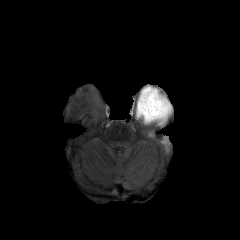
FLAIR magnetic resonance.
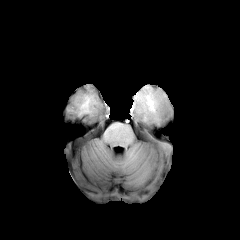
T1-weighted magnetic resonance.
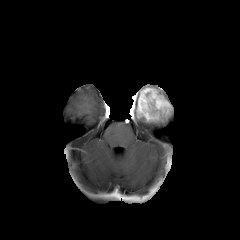
Post-contrast T1-weighted MR image of the same slice.
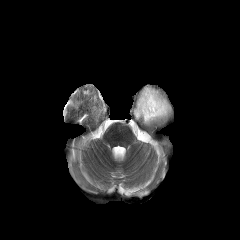
T2-weighted MR.
Head; Axial slice; 240x240
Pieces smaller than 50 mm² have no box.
Annotated regions:
* enhancing tumor: box=[135, 87, 172, 122]
* peritumoral edema: box=[134, 108, 168, 125]